Slice index 79
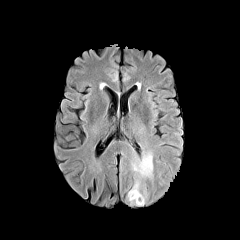
FLAIR MR.
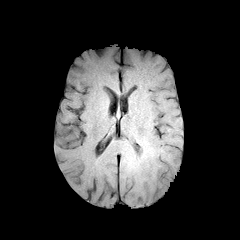
T1-weighted MR image of the same slice.
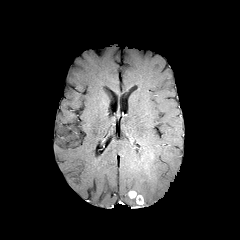
Post-contrast T1-weighted MR of the same slice.
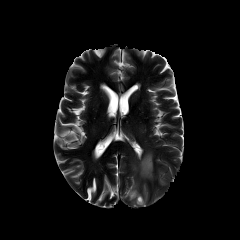
T2-weighted MR image of the same slice.
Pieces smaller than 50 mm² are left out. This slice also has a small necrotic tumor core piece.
The enhancing tumor lies within box(128, 191, 143, 204). The 3 largest peritumoral edema regions appear at box(127, 194, 142, 205); box(134, 153, 152, 177); box(130, 183, 141, 194).